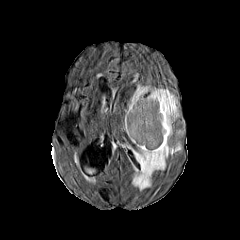
FLAIR MRI.
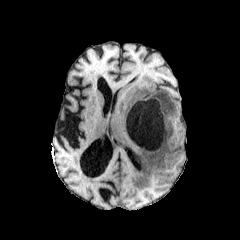
T1-weighted magnetic resonance of the same slice.
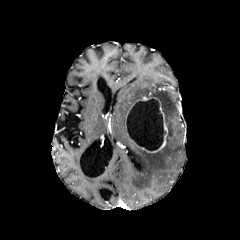
Post-contrast T1-weighted magnetic resonance of the same slice.
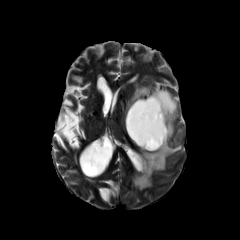
Same slice, T2-weighted MR image.
240x240
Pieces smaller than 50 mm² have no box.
Findings:
• necrotic tumor core: 126:98:165:150
• peritumoral edema: 128:85:181:190
• enhancing tumor: 131:97:167:152